Axial slice
FLAIR magnetic resonance.
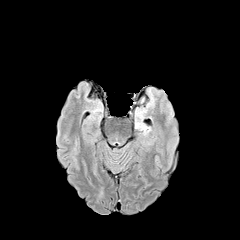
T1-weighted MRI.
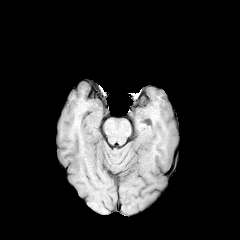
Post-contrast T1-weighted MRI.
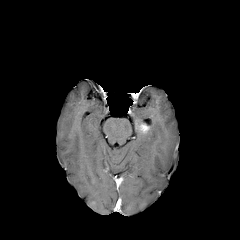
T2-weighted magnetic resonance.
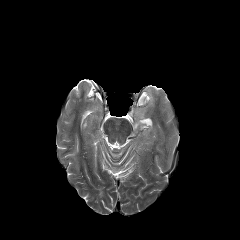
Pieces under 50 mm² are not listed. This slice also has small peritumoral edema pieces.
<segmentation>
  <enhancing_tumor>x1=140 y1=124 x2=148 y2=132</enhancing_tumor>
</segmentation>